Image width 240 mm; 240x240; Axial slice; Head
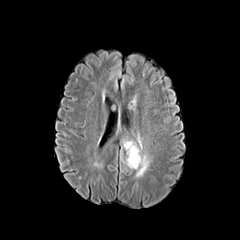
FLAIR MRI.
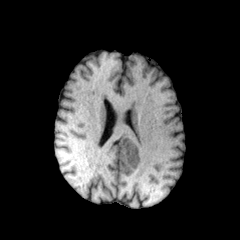
T1-weighted magnetic resonance.
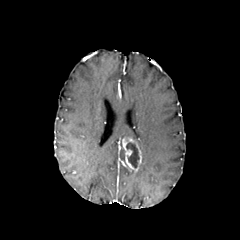
Same slice, post-contrast T1-weighted MR.
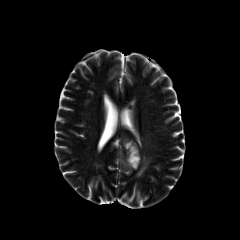
T2-weighted magnetic resonance.
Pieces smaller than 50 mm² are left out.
necrotic tumor core: x1=126, y1=142, x2=139, y2=168
enhancing tumor: x1=122, y1=138, x2=141, y2=171
peritumoral edema: x1=136, y1=154, x2=149, y2=176